Axial slice; Brain
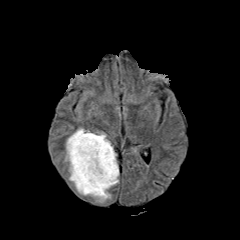
FLAIR MR image.
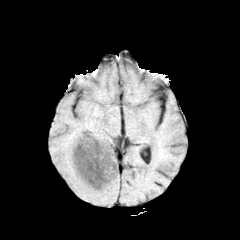
T1-weighted magnetic resonance.
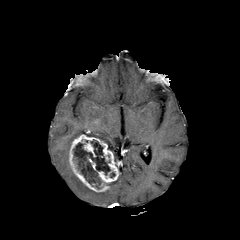
Post-contrast T1-weighted MR image.
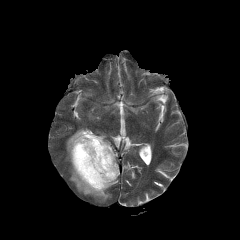
T2-weighted magnetic resonance.
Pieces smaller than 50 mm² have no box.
necrotic tumor core at (73, 140, 110, 188)
peritumoral edema at (88, 131, 116, 162), (69, 166, 110, 202), (65, 128, 87, 161)
enhancing tumor at (69, 134, 119, 192)